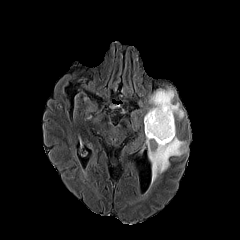
FLAIR MRI.
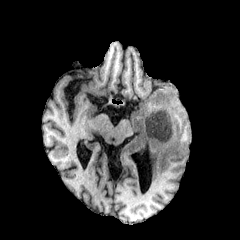
Same slice, T1-weighted magnetic resonance.
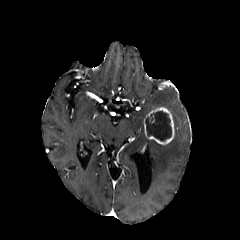
Post-contrast T1-weighted MRI of the same slice.
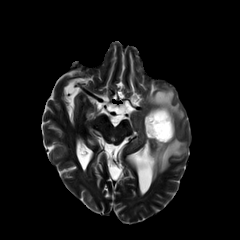
T2-weighted MR image.
Axial slice, Brain
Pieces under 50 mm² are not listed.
The necrotic tumor core is bounded by 145,111,171,140. The peritumoral edema lies within 146,88,186,184. The largest enhancing tumor region appears at 144,106,174,144.